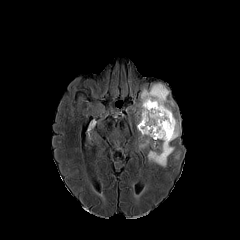
FLAIR MR.
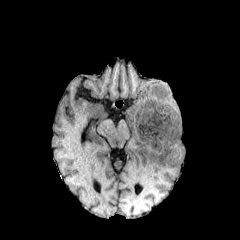
T1-weighted MR image of the same slice.
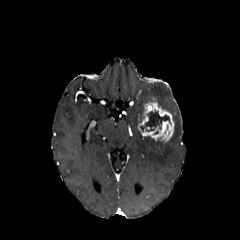
Post-contrast T1-weighted magnetic resonance.
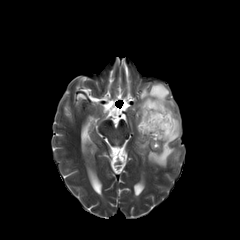
T2-weighted MR image of the same slice.
Axial plane | Head
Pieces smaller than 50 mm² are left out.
peritumoral edema: l=136, t=83, r=181, b=167
enhancing tumor: l=138, t=99, r=174, b=142
necrotic tumor core: l=140, t=111, r=170, b=131